FLAIR MR.
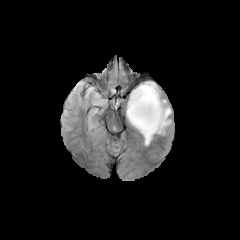
T1-weighted MR.
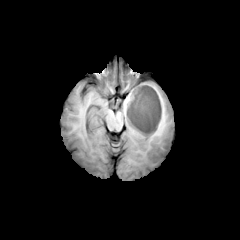
Post-contrast T1-weighted MRI.
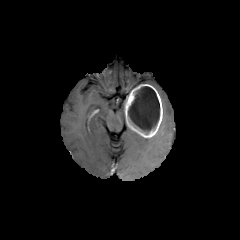
T2-weighted MRI.
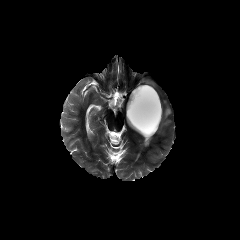
240x240, Brain
{"peritumoral_edema": ["(144,137,152,145)", "(145,81,159,94)", "(156,99,171,134)"], "necrotic_tumor_core": ["(128,86,159,132)"], "enhancing_tumor": ["(125,84,162,137)"]}